FLAIR MRI.
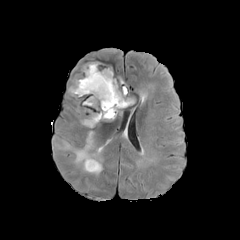
T1-weighted MR.
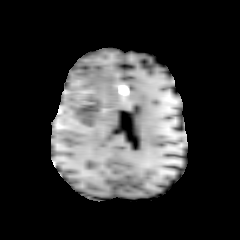
Post-contrast T1-weighted MRI.
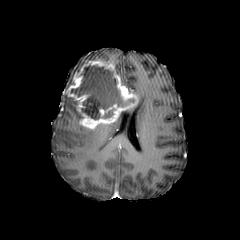
T2-weighted MRI.
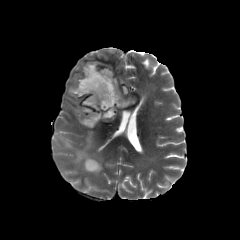
Head; Axial view
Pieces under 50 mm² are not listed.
{"necrotic_tumor_core": ["71,65,134,119", "102,108,114,118", "87,159,96,167"], "peritumoral_edema": ["58,130,102,173"], "enhancing_tumor": ["66,61,137,129"]}